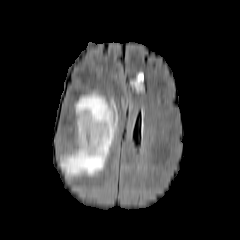
FLAIR MR.
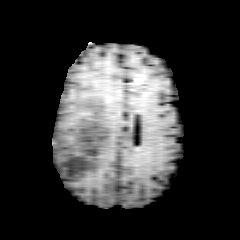
Same slice, T1-weighted MR.
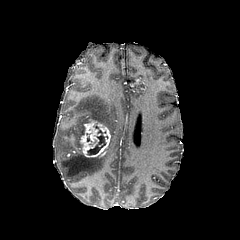
Same slice, post-contrast T1-weighted magnetic resonance.
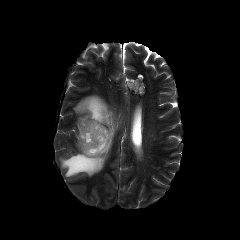
Same slice, T2-weighted magnetic resonance.
Brain
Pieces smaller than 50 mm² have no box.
The largest enhancing tumor region appears at 79 119 110 157. The largest necrotic tumor core region is located at 87 130 105 154. The peritumoral edema is at 60 93 117 176.